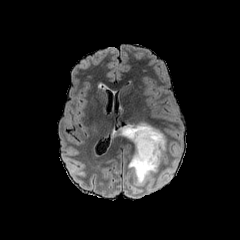
FLAIR MR.
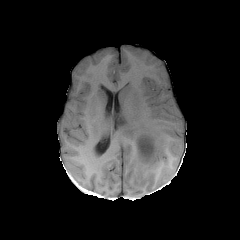
Same slice, T1-weighted MR.
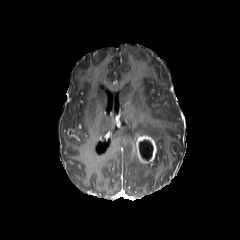
Post-contrast T1-weighted MRI.
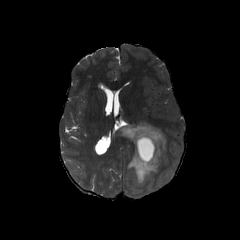
T2-weighted MR image.
Brain, 240x240
{
  "enhancing_tumor": [
    "bbox(136, 135, 156, 163)"
  ],
  "necrotic_tumor_core": [
    "bbox(139, 140, 153, 160)"
  ],
  "peritumoral_edema": [
    "bbox(111, 122, 166, 184)"
  ]
}